Brain | Image size 240x240 | Axial plane
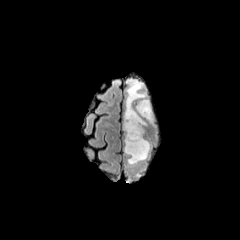
FLAIR MR image.
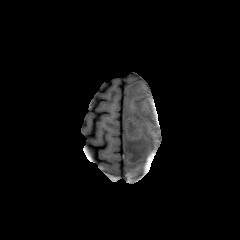
T1-weighted MR image of the same slice.
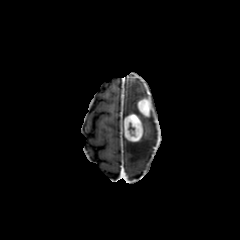
Same slice, post-contrast T1-weighted MR.
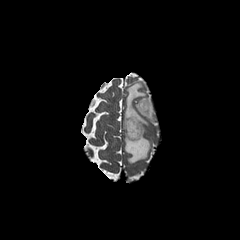
T2-weighted magnetic resonance.
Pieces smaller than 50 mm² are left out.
<segmentation>
  <enhancing_tumor>l=137, t=98, r=151, b=117; l=124, t=114, r=143, b=141</enhancing_tumor>
  <peritumoral_edema>l=125, t=136, r=151, b=164; l=124, t=81, r=153, b=125</peritumoral_edema>
  <necrotic_tumor_core>l=128, t=123, r=134, b=135</necrotic_tumor_core>
</segmentation>